Head | Slice 109 of 155
FLAIR magnetic resonance.
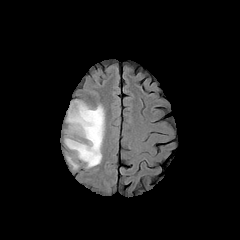
T1-weighted MR image.
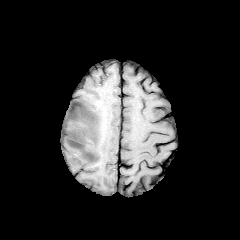
Post-contrast T1-weighted MRI.
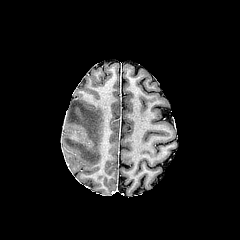
T2-weighted magnetic resonance.
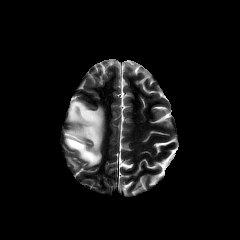
{"enhancing_tumor": ["68,130,85,142"], "peritumoral_edema": ["68,157,78,168", "65,100,104,167"]}